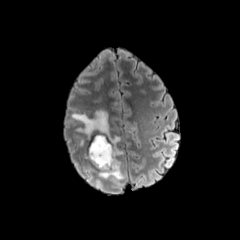
FLAIR MRI.
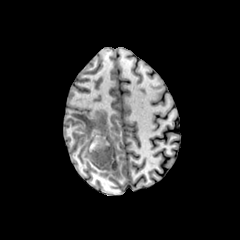
T1-weighted MR image.
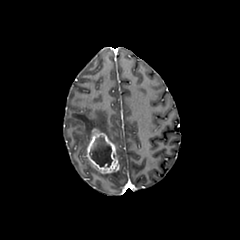
Post-contrast T1-weighted magnetic resonance.
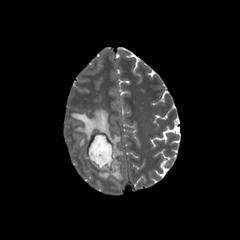
T2-weighted magnetic resonance of the same slice.
Brain
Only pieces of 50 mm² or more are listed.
The enhancing tumor is located at rect(86, 128, 119, 174). The largest necrotic tumor core region lies within rect(89, 136, 112, 166). The 2 largest peritumoral edema regions are located at rect(71, 109, 120, 146); rect(98, 159, 124, 181).